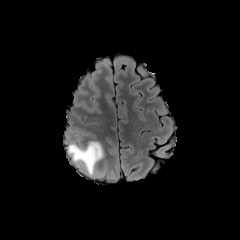
FLAIR MRI.
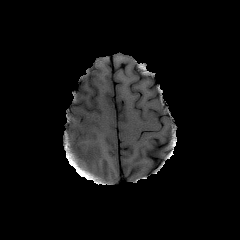
Same slice, T1-weighted MRI.
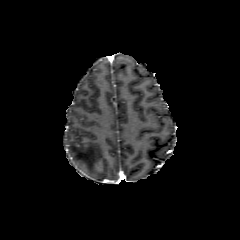
Post-contrast T1-weighted MR image of the same slice.
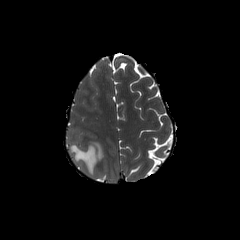
T2-weighted MRI.
Axial slice, 240x240 px
The peritumoral edema is located at {"x1": 68, "y1": 141, "x2": 103, "y2": 176}.